FLAIR MR image.
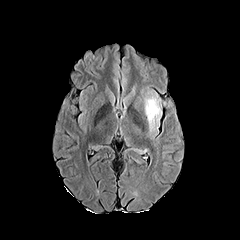
T1-weighted MR image.
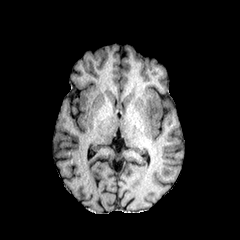
Post-contrast T1-weighted MR image.
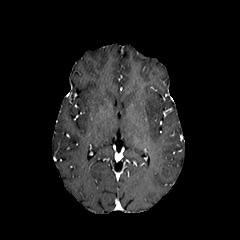
T2-weighted MRI.
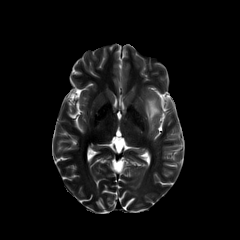
240x240 px
<segmentation>
  <peritumoral_edema><box>145,96,160,129</box></peritumoral_edema>
</segmentation>